Image covers 240 mm x 240 mm, Axial slice
FLAIR magnetic resonance.
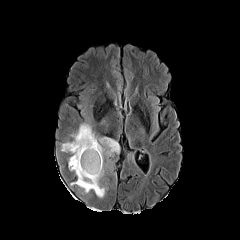
T1-weighted MR.
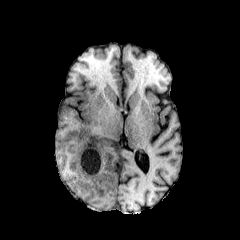
Post-contrast T1-weighted magnetic resonance.
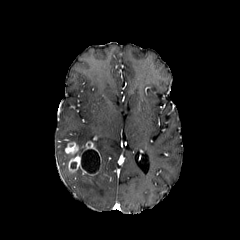
T2-weighted MR.
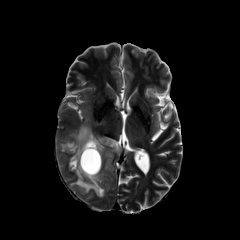
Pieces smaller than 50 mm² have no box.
peritumoral edema — left=70, top=124, right=119, bottom=197
enhancing tumor — left=65, top=142, right=78, bottom=154; left=68, top=154, right=100, bottom=175; left=82, top=141, right=101, bottom=165
necrotic tumor core — left=81, top=149, right=100, bottom=173